Head
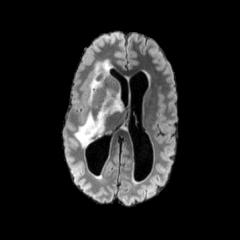
FLAIR MR image.
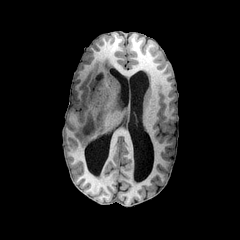
T1-weighted MRI of the same slice.
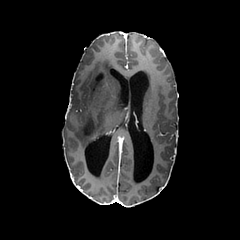
Same slice, post-contrast T1-weighted magnetic resonance.
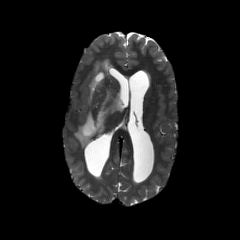
T2-weighted magnetic resonance of the same slice.
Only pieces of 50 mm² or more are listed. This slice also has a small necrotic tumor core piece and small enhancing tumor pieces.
Annotated regions:
* peritumoral edema: 74, 90, 123, 147; 87, 59, 112, 105